Slice 83/155 | Image size 240x240
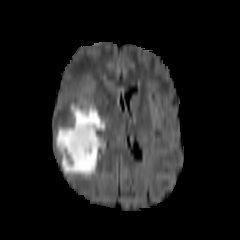
FLAIR MR.
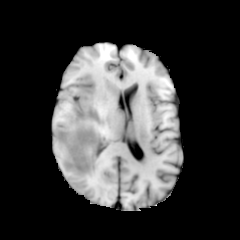
T1-weighted MRI of the same slice.
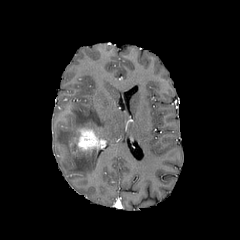
Post-contrast T1-weighted MR image.
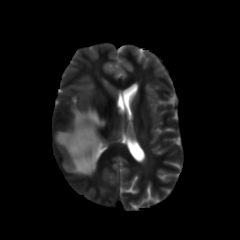
Same slice, T2-weighted MR image.
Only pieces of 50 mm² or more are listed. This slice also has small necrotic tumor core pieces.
enhancing tumor: box=[69, 123, 98, 156] | peritumoral edema: box=[56, 103, 104, 178]